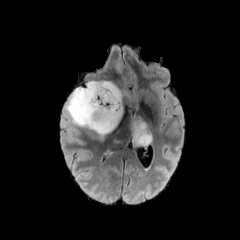
FLAIR MRI.
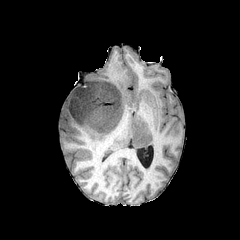
T1-weighted magnetic resonance.
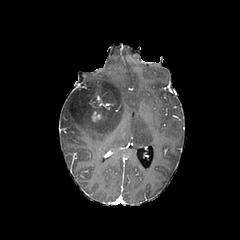
Same slice, post-contrast T1-weighted MR image.
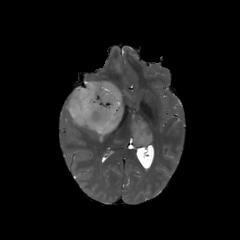
T2-weighted magnetic resonance.
Axial plane. Brain.
Annotated regions:
* peritumoral edema: rect(66, 81, 125, 144); rect(109, 55, 113, 71); rect(111, 139, 121, 145); rect(130, 116, 154, 148)
* enhancing tumor: rect(92, 112, 100, 121)